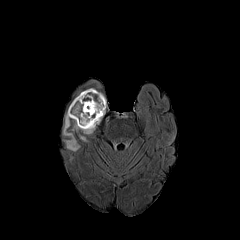
FLAIR MR.
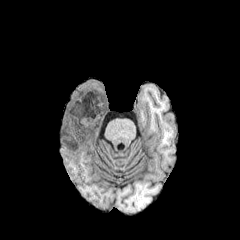
T1-weighted MRI.
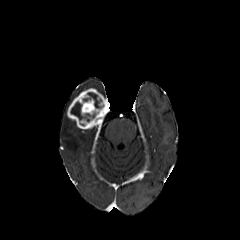
Post-contrast T1-weighted MR image.
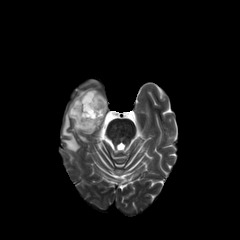
T2-weighted MRI.
Axial plane | Brain
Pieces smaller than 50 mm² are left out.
necrotic tumor core: (71, 102, 85, 120), (88, 92, 101, 108) | peritumoral edema: (63, 114, 79, 151), (72, 121, 94, 134) | enhancing tumor: (67, 88, 108, 129)